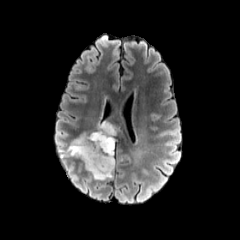
FLAIR MR.
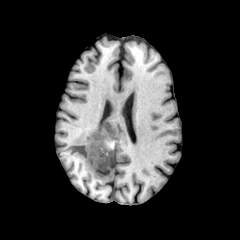
T1-weighted MR.
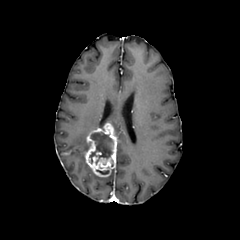
Same slice, post-contrast T1-weighted magnetic resonance.
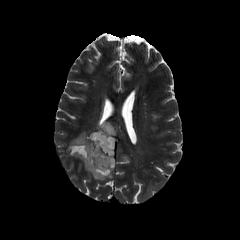
Same slice, T2-weighted MR.
Axial view | Brain
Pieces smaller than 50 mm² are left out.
peritumoral edema = x1=58 y1=133 x2=113 y2=180
necrotic tumor core = x1=89 y1=132 x2=113 y2=163
enhancing tumor = x1=80 y1=122 x2=116 y2=177